FLAIR magnetic resonance.
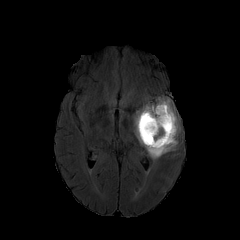
T1-weighted MR image.
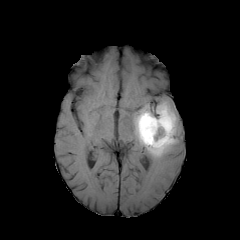
Post-contrast T1-weighted MR image.
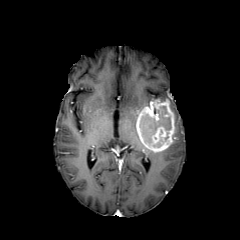
T2-weighted MRI.
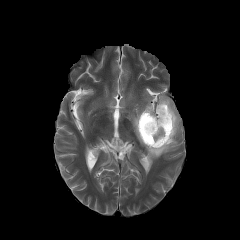
Axial view, 240x240 px
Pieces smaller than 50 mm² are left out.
• enhancing tumor: 136 99 175 152
• peritumoral edema: 133 102 149 146, 145 96 180 159
• necrotic tumor core: 140 106 171 143